FLAIR MR image.
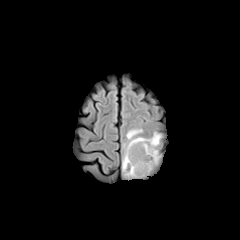
T1-weighted MRI.
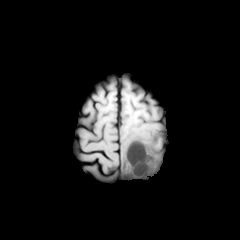
Post-contrast T1-weighted MRI.
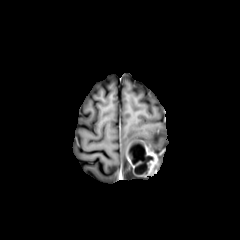
T2-weighted MRI.
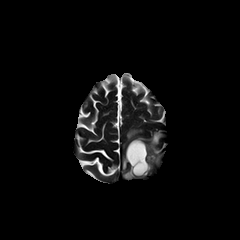
Axial plane | Brain
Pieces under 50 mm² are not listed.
The enhancing tumor is bounded by [125,141,157,177]. The largest peritumoral edema region lies within [122,129,162,178]. The necrotic tumor core appears at [130,144,153,173].